Brain.
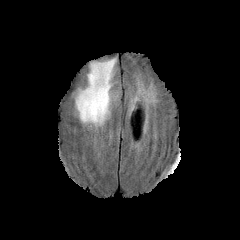
FLAIR magnetic resonance.
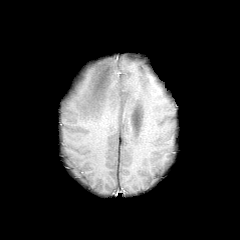
Same slice, T1-weighted MR.
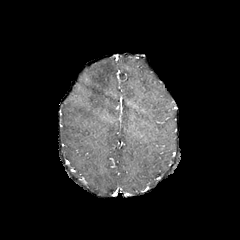
Post-contrast T1-weighted MR image of the same slice.
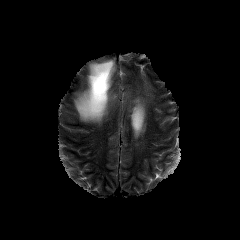
Same slice, T2-weighted MR.
peritumoral edema = (75, 59, 115, 125)